Axial slice
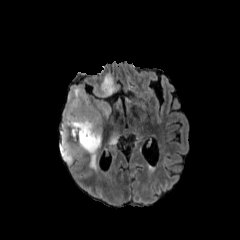
FLAIR MRI.
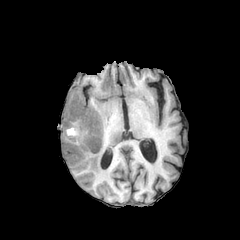
Same slice, T1-weighted MRI.
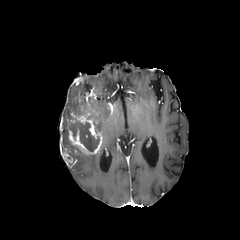
Same slice, post-contrast T1-weighted MRI.
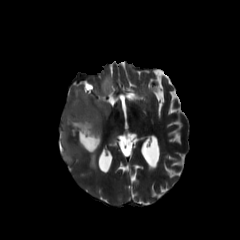
T2-weighted MR of the same slice.
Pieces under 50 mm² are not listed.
peritumoral edema = {"x1": 89, "y1": 148, "x2": 103, "y2": 171}, {"x1": 63, "y1": 73, "x2": 122, "y2": 128}, {"x1": 108, "y1": 130, "x2": 120, "y2": 148}
enhancing tumor = {"x1": 59, "y1": 94, "x2": 102, "y2": 164}
necrotic tumor core = {"x1": 67, "y1": 120, "x2": 99, "y2": 151}, {"x1": 68, "y1": 146, "x2": 76, "y2": 158}